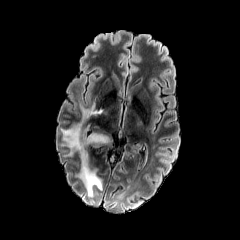
FLAIR magnetic resonance.
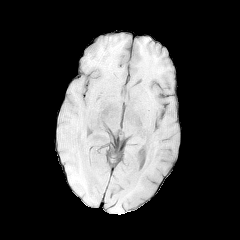
T1-weighted magnetic resonance of the same slice.
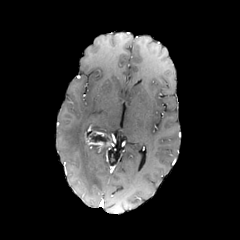
Post-contrast T1-weighted MR.
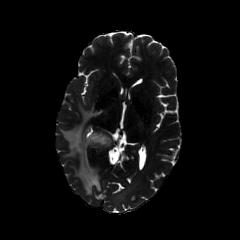
T2-weighted MRI.
Axial slice; Brain
* necrotic tumor core: (90, 133, 108, 142)
* enhancing tumor: (85, 131, 112, 150)
* peritumoral edema: (61, 104, 102, 195)